Axial view, Brain, Image size 240x240
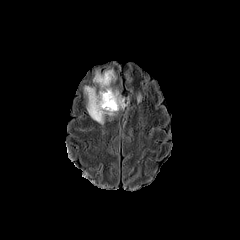
FLAIR MRI.
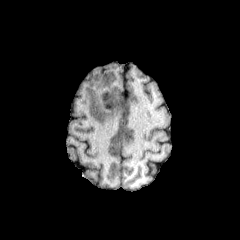
T1-weighted MRI.
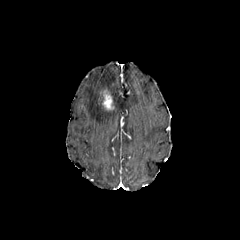
Post-contrast T1-weighted magnetic resonance.
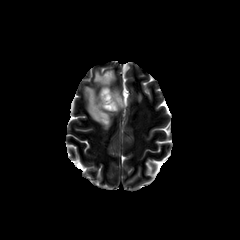
T2-weighted MRI.
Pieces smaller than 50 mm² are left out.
peritumoral edema: [84,69,128,123]
enhancing tumor: [101,89,114,110]